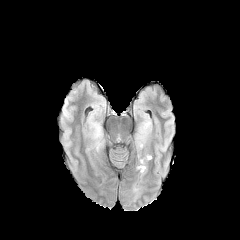
FLAIR MRI.
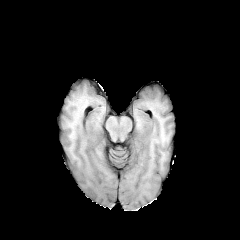
T1-weighted MRI of the same slice.
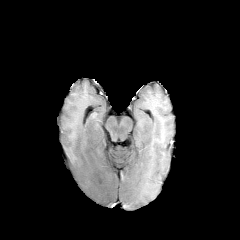
Post-contrast T1-weighted MR image.
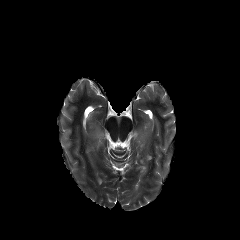
T2-weighted MRI.
Head
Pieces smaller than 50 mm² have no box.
Segmented structures:
* peritumoral edema: bbox=[137, 159, 146, 173]; bbox=[136, 125, 148, 148]; bbox=[90, 126, 102, 149]